FLAIR MR image.
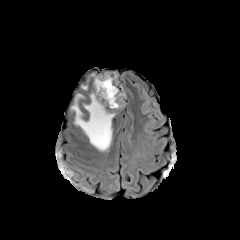
T1-weighted MRI.
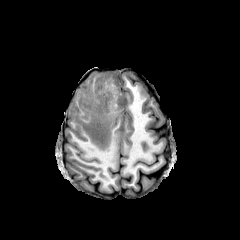
Post-contrast T1-weighted MR.
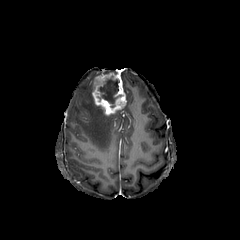
T2-weighted MR.
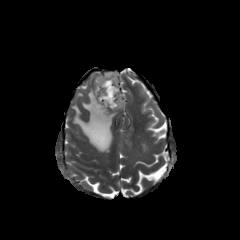
Head
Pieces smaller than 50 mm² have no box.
<segmentation>
  <enhancing_tumor>(left=92, top=73, right=126, bottom=115)</enhancing_tumor>
  <peritumoral_edema>(left=71, top=92, right=115, bottom=152)</peritumoral_edema>
  <necrotic_tumor_core>(left=98, top=76, right=120, bottom=107)</necrotic_tumor_core>
</segmentation>